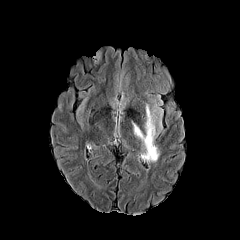
FLAIR MRI.
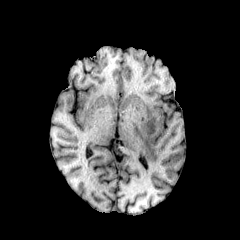
T1-weighted magnetic resonance.
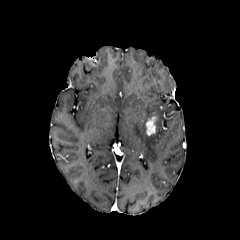
Post-contrast T1-weighted MR.
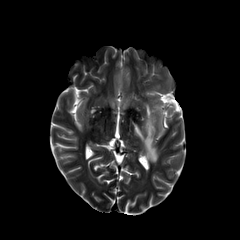
T2-weighted magnetic resonance.
240x240 px
The enhancing tumor lies within <box>145,116,156,135</box>. 3 peritumoral edema regions are bounded by <box>155,111,162,131</box>, <box>146,104,157,121</box>, <box>132,122,159,162</box>.